240x240; Brain
FLAIR MR image.
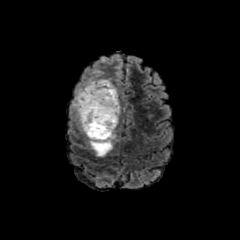
T1-weighted MR image.
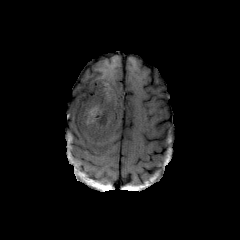
Post-contrast T1-weighted MR image.
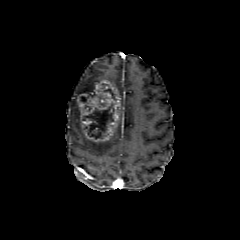
T2-weighted MR image.
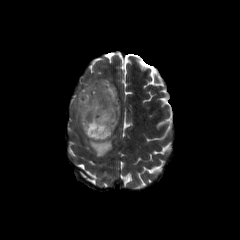
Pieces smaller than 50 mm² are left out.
The 2 largest necrotic tumor core regions are bounded by <bbox>104, 88, 116, 100</bbox>, <bbox>83, 103, 114, 138</bbox>. 2 peritumoral edema regions appear at <bbox>87, 132, 116, 156</bbox>, <bbox>70, 78, 107, 131</bbox>. The largest enhancing tumor region lies within <bbox>76, 80, 120, 142</bbox>.